240x240 px. Brain.
FLAIR MR image.
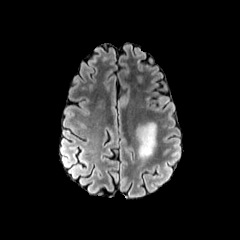
T1-weighted MR.
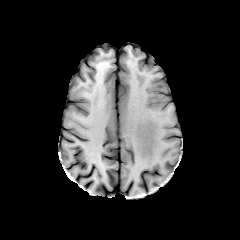
Post-contrast T1-weighted magnetic resonance.
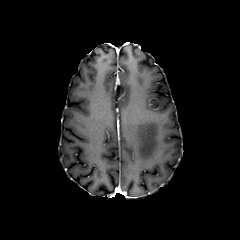
T2-weighted magnetic resonance.
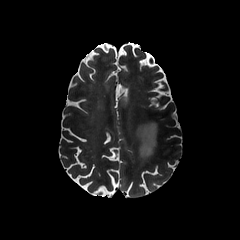
peritumoral edema: rect(135, 121, 156, 165)